FLAIR MR image.
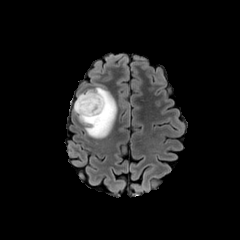
T1-weighted magnetic resonance.
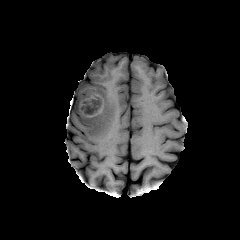
Post-contrast T1-weighted MR.
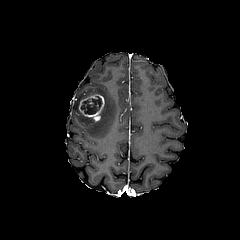
T2-weighted MR image.
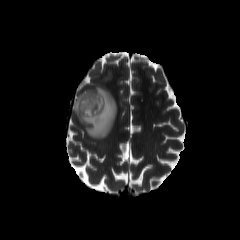
Brain. Axial plane. 240x240 px.
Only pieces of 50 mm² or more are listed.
enhancing tumor: <bbox>78, 94, 104, 121</bbox>
necrotic tumor core: <bbox>81, 96, 101, 114</bbox>
peritumoral edema: <bbox>74, 86, 117, 138</bbox>